Image covers 240 mm x 240 mm
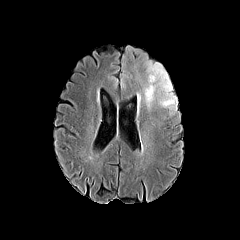
FLAIR MR image.
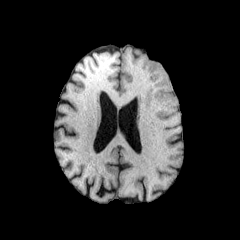
Same slice, T1-weighted magnetic resonance.
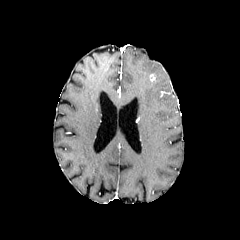
Post-contrast T1-weighted MR.
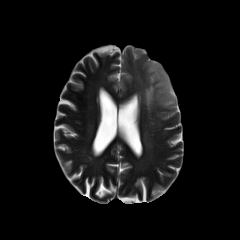
T2-weighted magnetic resonance.
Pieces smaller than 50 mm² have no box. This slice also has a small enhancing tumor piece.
peritumoral_edema:
  - x1=143, y1=61, x2=177, y2=109